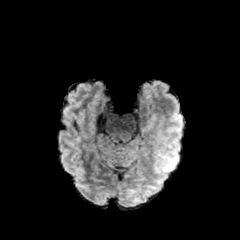
FLAIR MRI.
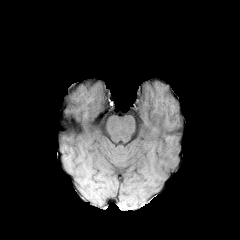
T1-weighted MR.
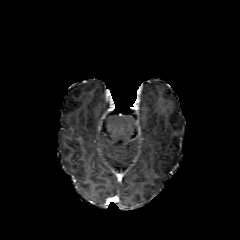
Post-contrast T1-weighted magnetic resonance.
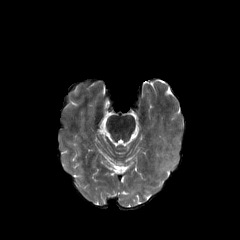
T2-weighted MR of the same slice.
Brain | Axial view
Findings:
* peritumoral edema: (x1=156, y1=138, x2=181, y2=177)